FLAIR magnetic resonance.
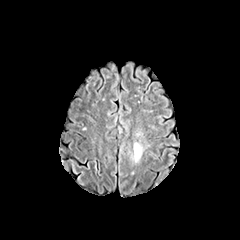
T1-weighted magnetic resonance.
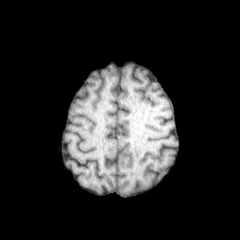
Post-contrast T1-weighted MR.
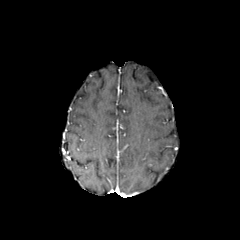
T2-weighted MR.
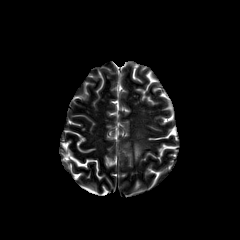
Axial slice
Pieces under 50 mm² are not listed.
Segmented structures:
* peritumoral edema: left=133, top=142, right=142, bottom=161